FLAIR magnetic resonance.
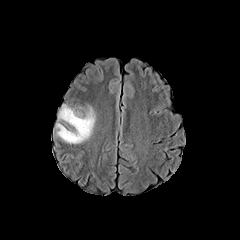
T1-weighted MR image.
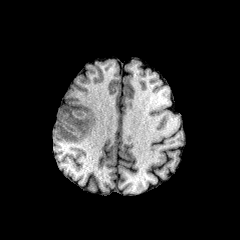
Post-contrast T1-weighted MR.
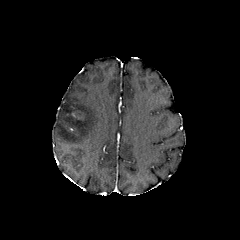
T2-weighted MR.
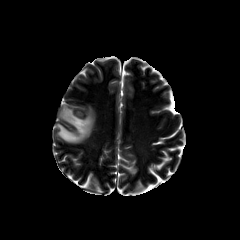
Image size 240x240
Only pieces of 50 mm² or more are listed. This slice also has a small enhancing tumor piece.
peritumoral edema: 56,104,95,143